FLAIR MR image.
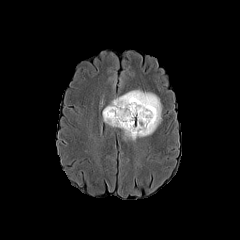
T1-weighted MR image.
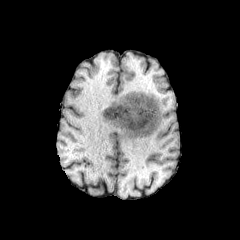
Post-contrast T1-weighted MR.
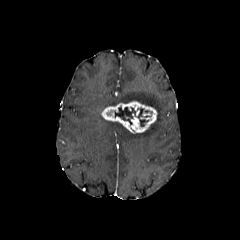
T2-weighted MR image.
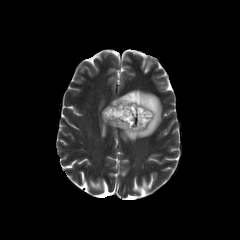
Axial view
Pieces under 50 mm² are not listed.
The peritumoral edema is bounded by (left=103, top=90, right=161, bottom=140). The largest enhancing tumor region lies within (left=101, top=101, right=157, bottom=133). The largest necrotic tumor core region is bounded by (left=115, top=107, right=148, bottom=126).